240x240 px | Axial view
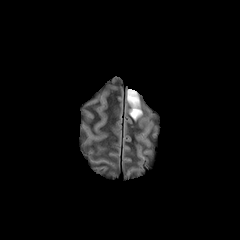
FLAIR MR.
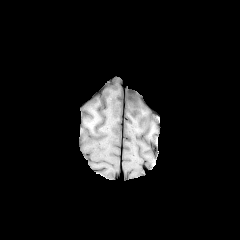
T1-weighted MR image of the same slice.
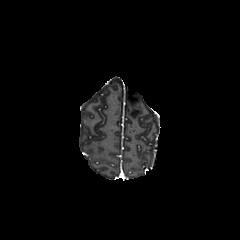
Post-contrast T1-weighted MR image of the same slice.
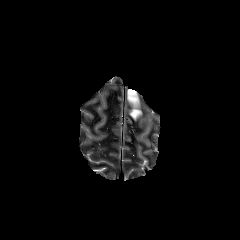
T2-weighted MR of the same slice.
<segmentation>
  <peritumoral_edema>[127, 89, 141, 119]</peritumoral_edema>
</segmentation>